Slice index 73. Head. Axial slice. 240x240 px.
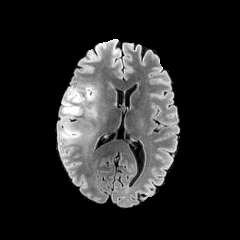
FLAIR magnetic resonance.
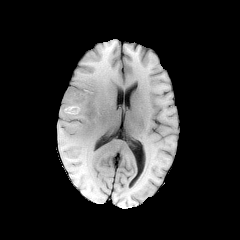
T1-weighted magnetic resonance of the same slice.
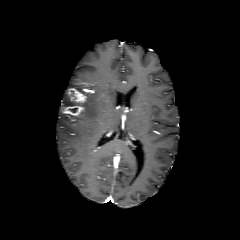
Post-contrast T1-weighted MR.
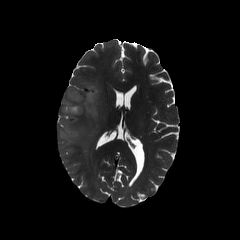
T2-weighted magnetic resonance.
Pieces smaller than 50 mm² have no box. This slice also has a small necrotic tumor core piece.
peritumoral edema at <box>59,89,83,146</box>, <box>79,87,97,117</box>
enhancing tumor at <box>63,88,87,115</box>